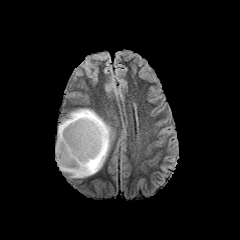
FLAIR MR.
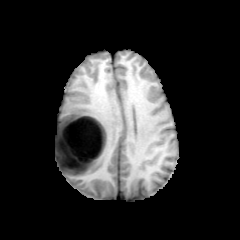
T1-weighted MRI.
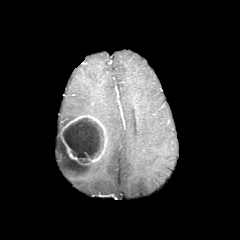
Post-contrast T1-weighted magnetic resonance.
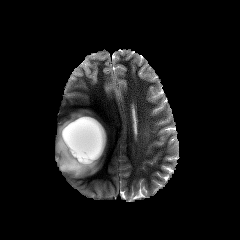
T2-weighted MRI.
240x240 px
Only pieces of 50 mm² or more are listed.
The peritumoral edema is at bbox(55, 109, 110, 178). The enhancing tumor lies within bbox(60, 115, 107, 164). The largest necrotic tumor core region lies within bbox(62, 118, 103, 159).